Brain, Axial view, Slice 58 of 155
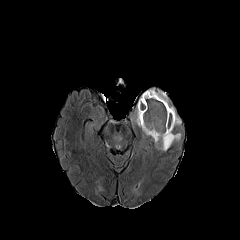
FLAIR magnetic resonance.
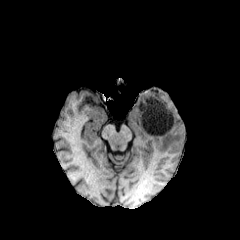
T1-weighted MR image.
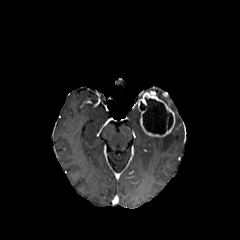
Post-contrast T1-weighted MRI of the same slice.
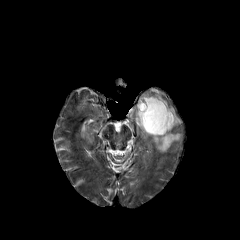
T2-weighted MRI of the same slice.
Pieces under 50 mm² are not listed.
The largest enhancing tumor region appears at 138:91:175:137. The necrotic tumor core appears at 140:97:173:134. The 4 largest peritumoral edema regions are located at 134:109:140:126, 152:132:181:151, 156:91:168:104, 171:106:181:124.